Image width 240 mm, 1.00 mm slice spacing, Slice 96/155
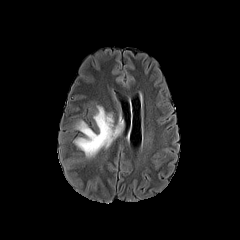
FLAIR magnetic resonance.
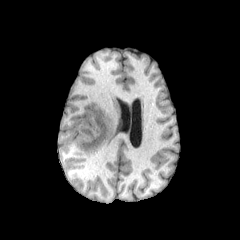
T1-weighted MRI of the same slice.
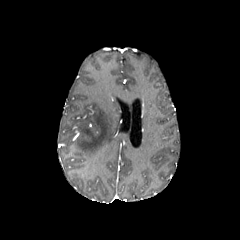
Same slice, post-contrast T1-weighted MR image.
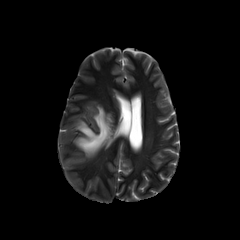
T2-weighted MR image.
The peritumoral edema appears at 75, 106, 123, 157.